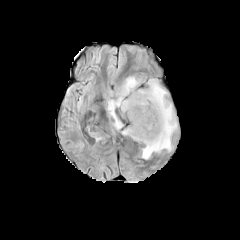
FLAIR MR.
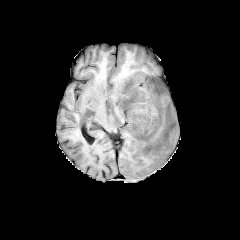
Same slice, T1-weighted magnetic resonance.
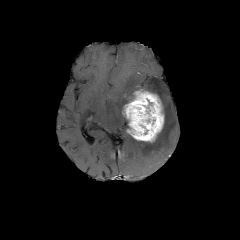
Same slice, post-contrast T1-weighted magnetic resonance.
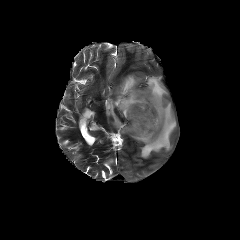
T2-weighted MRI.
Axial plane; Head
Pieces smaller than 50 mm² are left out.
The 2 largest peritumoral edema regions are located at x1=138 y1=78 x2=176 y2=158, x1=107 y1=76 x2=140 y2=129. The enhancing tumor lies within x1=122 y1=90 x2=164 y2=142.